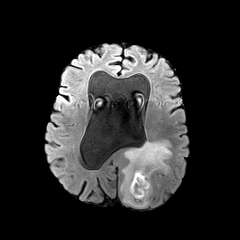
FLAIR magnetic resonance.
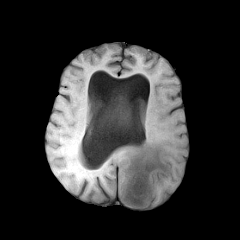
T1-weighted MR.
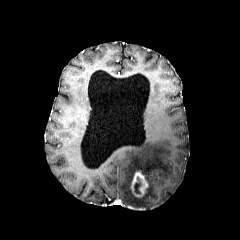
Post-contrast T1-weighted MR image of the same slice.
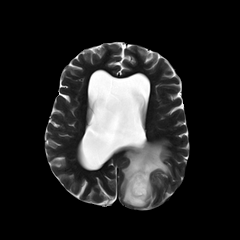
T2-weighted MRI of the same slice.
Axial slice, Image size 240x240
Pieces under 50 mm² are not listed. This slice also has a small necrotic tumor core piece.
<segmentation>
  <enhancing_tumor>[130, 171, 148, 197]</enhancing_tumor>
  <peritumoral_edema>[121, 139, 172, 206]</peritumoral_edema>
</segmentation>